Image width 240 mm, Axial view, Brain
FLAIR magnetic resonance.
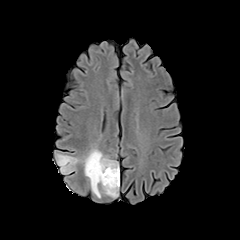
T1-weighted MR image.
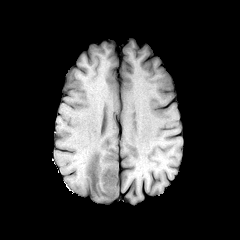
Post-contrast T1-weighted MR image.
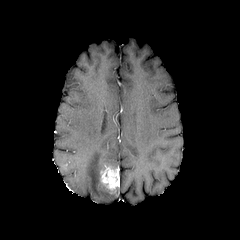
T2-weighted MR.
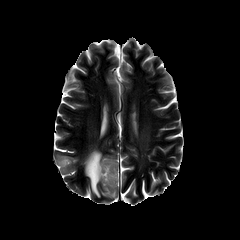
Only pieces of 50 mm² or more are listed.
• enhancing tumor: box(100, 165, 117, 193)
• peritumoral edema: box(56, 154, 78, 174); box(83, 149, 117, 197)